Brain; Slice 62/155
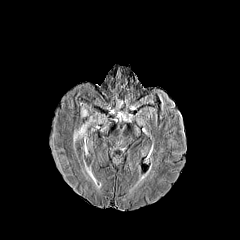
FLAIR MR.
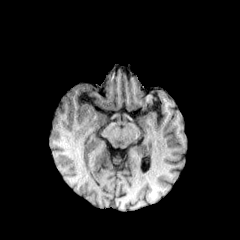
T1-weighted MRI of the same slice.
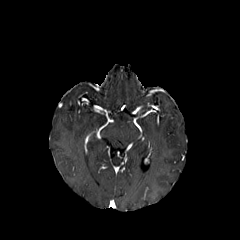
Post-contrast T1-weighted MRI.
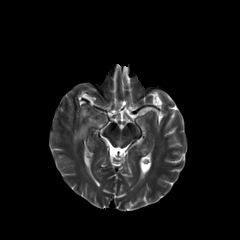
T2-weighted MR image.
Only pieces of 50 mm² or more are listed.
peritumoral edema — 74 123 89 142